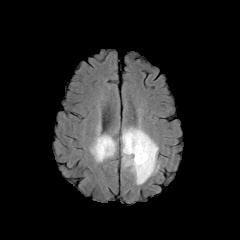
FLAIR MR image.
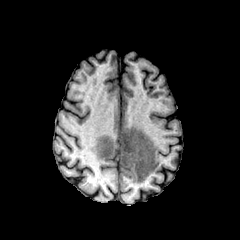
T1-weighted MRI of the same slice.
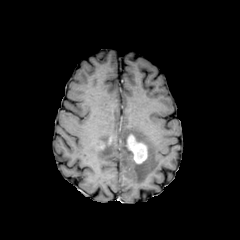
Post-contrast T1-weighted magnetic resonance of the same slice.
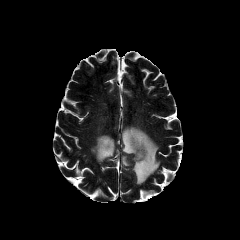
T2-weighted MRI of the same slice.
Brain
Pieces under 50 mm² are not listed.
enhancing_tumor:
  - {"x1": 126, "y1": 134, "x2": 147, "y2": 163}
peritumoral_edema:
  - {"x1": 90, "y1": 127, "x2": 116, "y2": 162}
  - {"x1": 121, "y1": 127, "x2": 158, "y2": 184}